Slice 44/155 | Axial slice
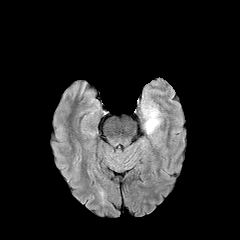
FLAIR MR image.
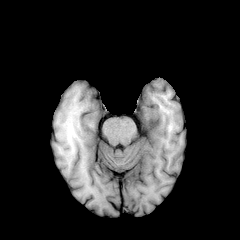
T1-weighted MR.
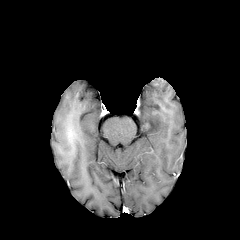
Post-contrast T1-weighted MRI of the same slice.
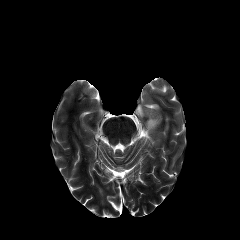
T2-weighted magnetic resonance of the same slice.
enhancing tumor: region(151, 109, 159, 116); region(142, 122, 150, 132) | peritumoral edema: region(142, 106, 161, 134)